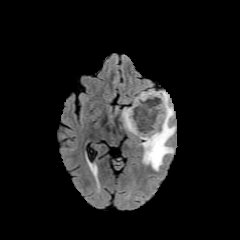
FLAIR MR.
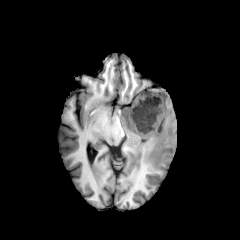
Same slice, T1-weighted MRI.
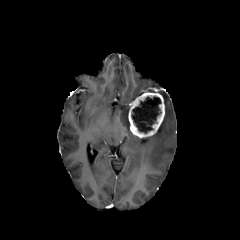
Post-contrast T1-weighted MR image.
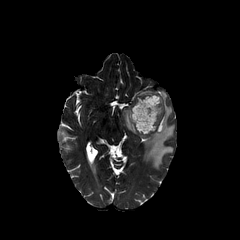
Same slice, T2-weighted magnetic resonance.
240x240.
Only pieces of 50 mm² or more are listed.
necrotic tumor core = box(131, 96, 161, 133)
enhancing tumor = box(128, 90, 164, 137)
peritumoral edema = box(122, 107, 130, 131); box(140, 91, 175, 170)